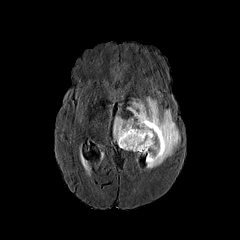
FLAIR MR.
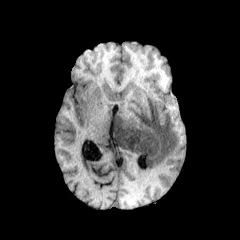
T1-weighted MRI.
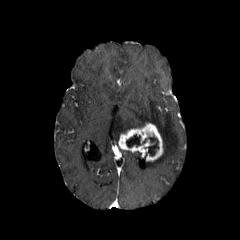
Post-contrast T1-weighted MR image.
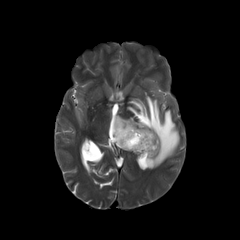
T2-weighted MR.
Brain. Axial view. Image size 240x240.
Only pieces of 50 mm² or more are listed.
peritumoral edema: bounding box 113,97,180,168
enhancing tumor: bounding box 118,122,163,161
necrotic tumor core: bounding box 148,137,158,155; 126,135,140,147